FLAIR MRI.
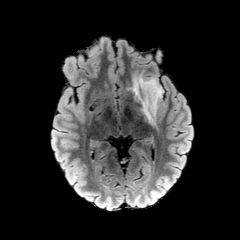
T1-weighted MRI.
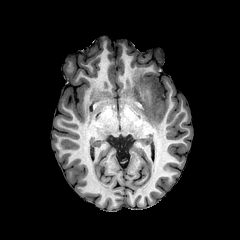
Post-contrast T1-weighted MRI.
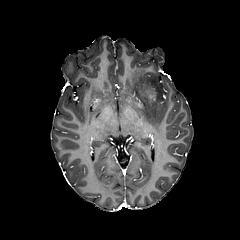
T2-weighted MR.
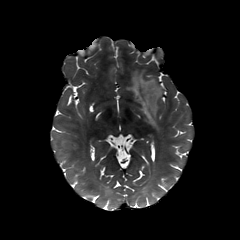
Axial slice. Head. Image size 240x240.
Findings:
• peritumoral edema: {"x1": 131, "y1": 72, "x2": 162, "y2": 126}
• enhancing tumor: {"x1": 149, "y1": 88, "x2": 156, "y2": 100}